FLAIR MR.
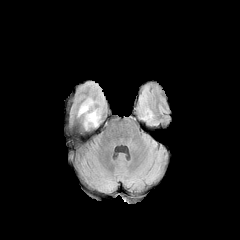
T1-weighted magnetic resonance.
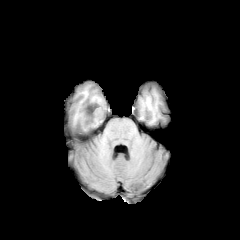
Post-contrast T1-weighted MR image.
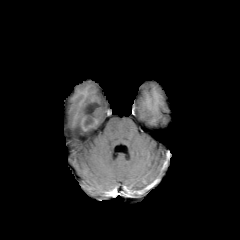
T2-weighted MR image.
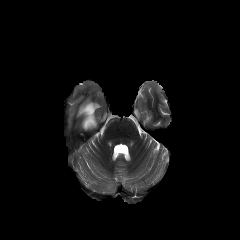
Head; 240x240 px
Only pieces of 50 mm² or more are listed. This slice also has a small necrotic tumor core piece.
peritumoral_edema:
  - 78:99:100:126
enhancing_tumor:
  - 80:114:97:130